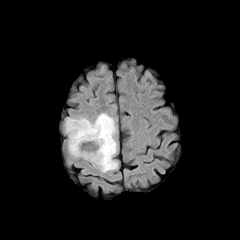
FLAIR MRI.
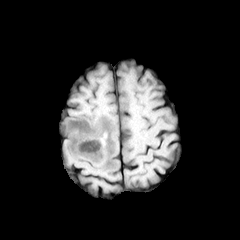
T1-weighted magnetic resonance.
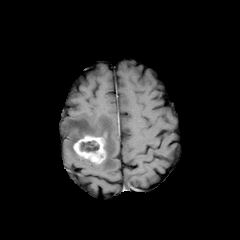
Post-contrast T1-weighted MR image.
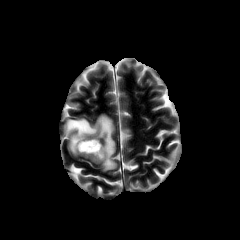
T2-weighted MRI.
Axial plane
{"enhancing_tumor": ["[x1=73, y1=135, x2=106, y2=163]"], "peritumoral_edema": ["[x1=64, y1=113, x2=117, y2=172]"], "necrotic_tumor_core": ["[x1=80, y1=141, x2=99, y2=151]"]}